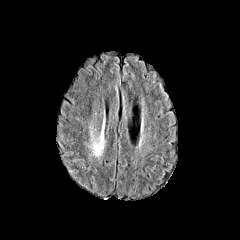
FLAIR magnetic resonance.
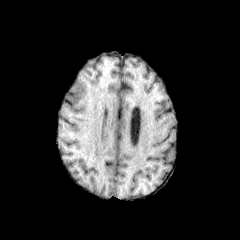
T1-weighted MR.
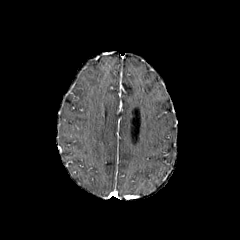
Post-contrast T1-weighted magnetic resonance.
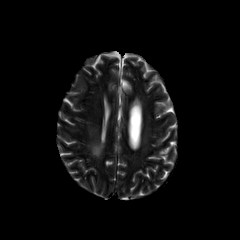
T2-weighted magnetic resonance.
Brain
peritumoral edema = [92,143,103,156]